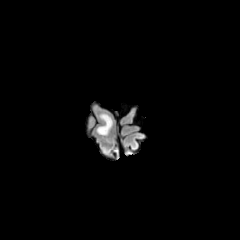
FLAIR MRI.
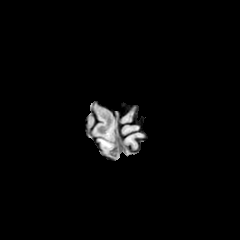
T1-weighted MR image of the same slice.
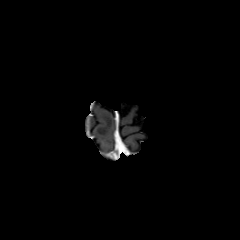
Post-contrast T1-weighted magnetic resonance of the same slice.
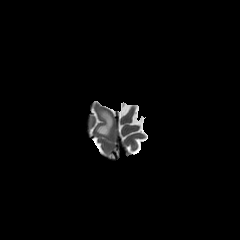
T2-weighted MRI.
Axial slice; Head
The peritumoral edema is at 96 111 112 135.